240x240 | Head
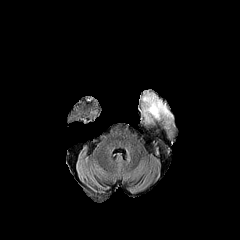
FLAIR MRI.
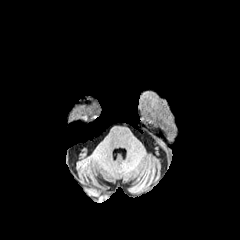
T1-weighted MR.
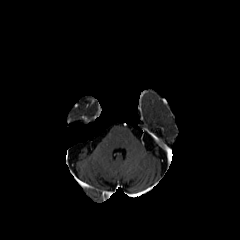
Post-contrast T1-weighted MRI.
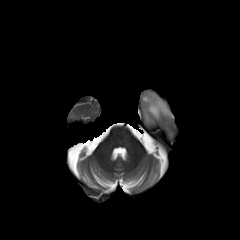
T2-weighted MRI of the same slice.
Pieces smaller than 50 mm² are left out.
peritumoral edema = {"x1": 143, "y1": 94, "x2": 171, "y2": 118}